Head
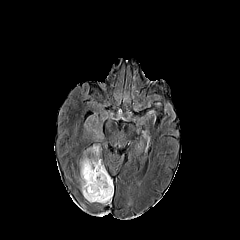
FLAIR MR.
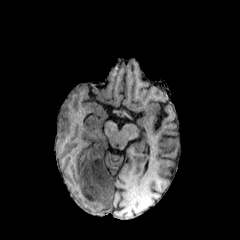
T1-weighted MR image of the same slice.
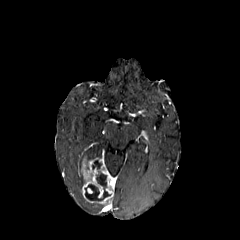
Post-contrast T1-weighted MR image of the same slice.
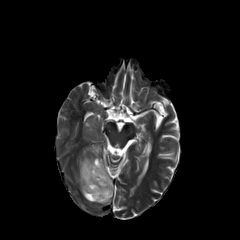
T2-weighted MR image.
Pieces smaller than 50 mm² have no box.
Annotated regions:
• enhancing tumor: [x1=80, y1=157, x2=113, y2=204]
• peritumoral edema: [x1=89, y1=145, x2=99, y2=156]
• necrotic tumor core: [x1=85, y1=173, x2=110, y2=200], [x1=92, y1=160, x2=101, y2=169]